Image width 240 mm, 1.00 mm slice spacing; Brain; Axial plane
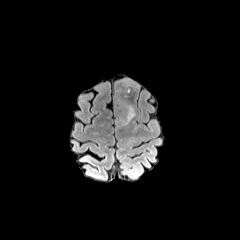
FLAIR magnetic resonance.
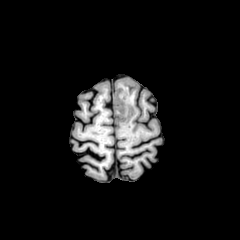
T1-weighted MR.
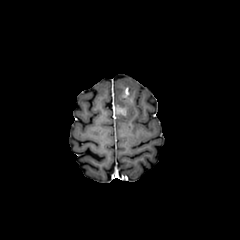
Same slice, post-contrast T1-weighted MRI.
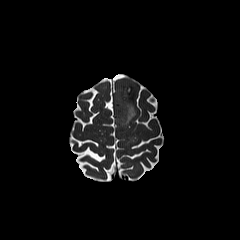
T2-weighted MR image.
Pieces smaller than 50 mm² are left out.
<segmentation>
  <enhancing_tumor>x1=115, y1=105, x2=126, y2=115</enhancing_tumor>
  <peritumoral_edema>x1=116, y1=97, x2=136, y2=125; x1=123, y1=80, x2=133, y2=93</peritumoral_edema>
</segmentation>